Image size 240x240. Image width 240 mm. Slice 94 of 155.
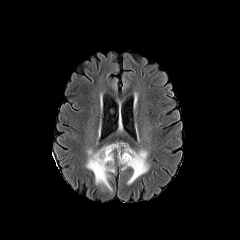
FLAIR MR.
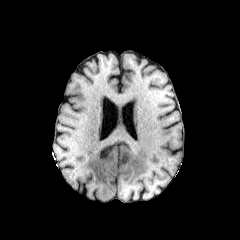
T1-weighted magnetic resonance of the same slice.
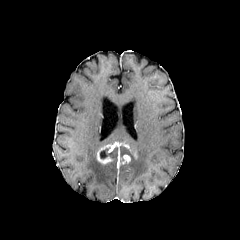
Post-contrast T1-weighted magnetic resonance of the same slice.
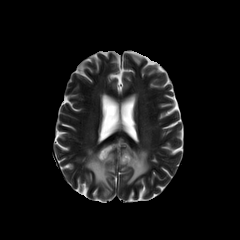
T2-weighted MR of the same slice.
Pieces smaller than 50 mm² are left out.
necrotic tumor core — x1=100, y1=149, x2=108, y2=158
peritumoral edema — x1=121, y1=148, x2=149, y2=184; x1=85, y1=149, x2=114, y2=191
enhancing tumor — x1=96, y1=143, x2=131, y2=164; x1=120, y1=154, x2=130, y2=164